Axial view | 240x240
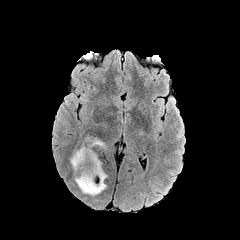
FLAIR MRI.
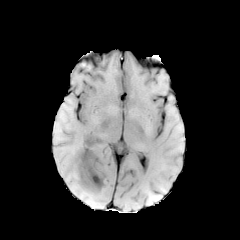
T1-weighted MRI.
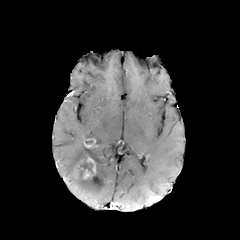
Post-contrast T1-weighted MR image.
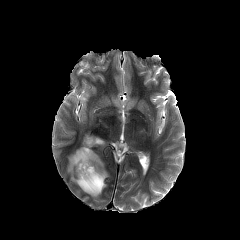
T2-weighted magnetic resonance.
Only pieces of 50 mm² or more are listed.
<segmentation>
  <enhancing_tumor>box(79, 156, 96, 179); box(84, 138, 95, 148)</enhancing_tumor>
  <necrotic_tumor_core>box(75, 155, 92, 177)</necrotic_tumor_core>
  <peritumoral_edema>box(69, 141, 107, 196); box(84, 136, 105, 148)</peritumoral_edema>
</segmentation>